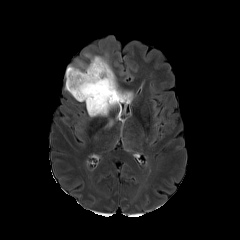
FLAIR MRI.
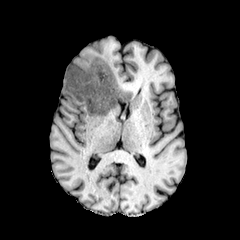
Same slice, T1-weighted MRI.
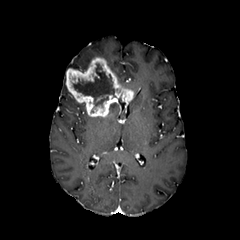
Post-contrast T1-weighted magnetic resonance.
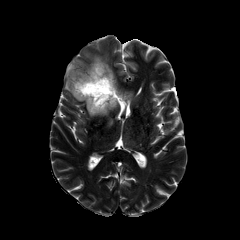
T2-weighted MRI.
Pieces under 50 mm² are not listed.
necrotic tumor core = l=73, t=64, r=115, b=106
peritumoral edema = l=67, t=60, r=88, b=71
enhancing tumor = l=66, t=57, r=133, b=116